Brain
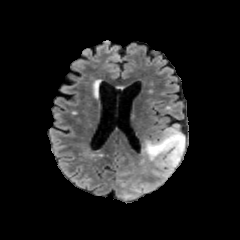
FLAIR MR.
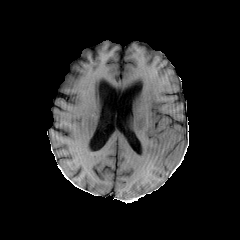
Same slice, T1-weighted MRI.
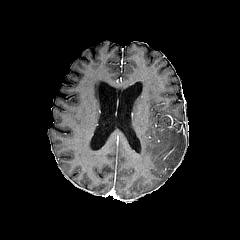
Post-contrast T1-weighted MRI of the same slice.
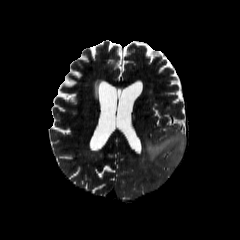
T2-weighted MR image of the same slice.
Segmented structures:
• peritumoral edema: box(143, 124, 185, 169)